Axial view.
FLAIR MRI.
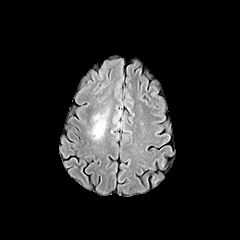
T1-weighted MR.
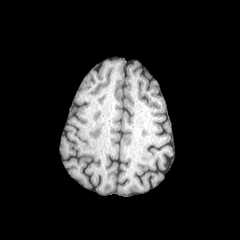
Post-contrast T1-weighted magnetic resonance.
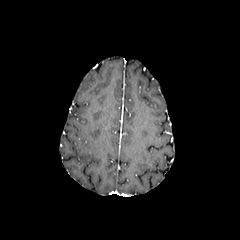
T2-weighted MRI.
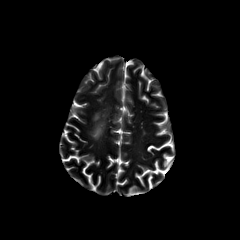
peritumoral edema = 91, 113, 107, 139